FLAIR magnetic resonance.
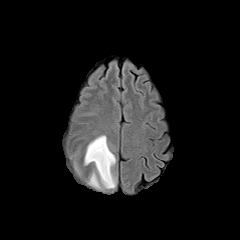
T1-weighted MR.
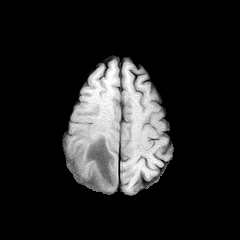
Post-contrast T1-weighted magnetic resonance.
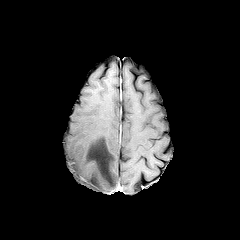
T2-weighted MR image.
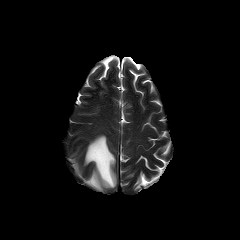
Head.
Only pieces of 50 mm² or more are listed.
Findings:
- peritumoral edema: 84, 135, 116, 189